Axial plane. Head.
FLAIR MR image.
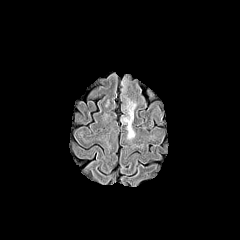
T1-weighted magnetic resonance.
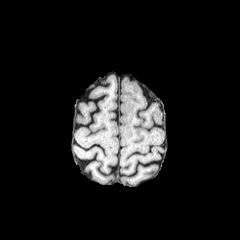
Post-contrast T1-weighted MR image.
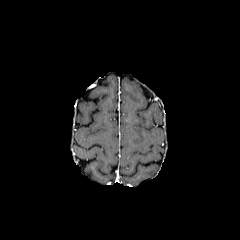
T2-weighted MRI.
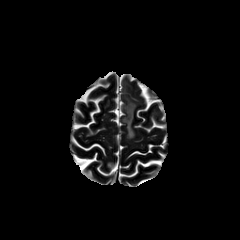
Segmented structures:
* peritumoral edema: [121, 76, 136, 139]